Head
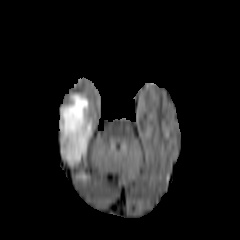
FLAIR magnetic resonance.
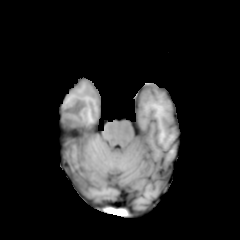
T1-weighted magnetic resonance.
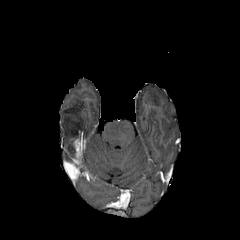
Post-contrast T1-weighted MR image.
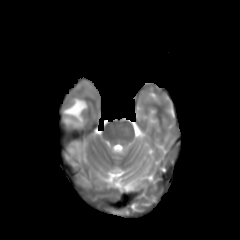
T2-weighted magnetic resonance of the same slice.
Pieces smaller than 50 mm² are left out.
Findings:
• peritumoral edema: x1=59, y1=93, x2=92, y2=161
• enhancing tumor: x1=74, y1=131, x2=82, y2=159